Brain
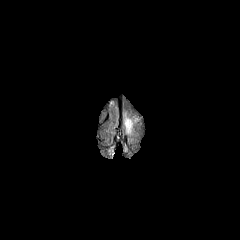
FLAIR MRI.
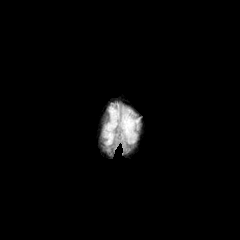
Same slice, T1-weighted MR.
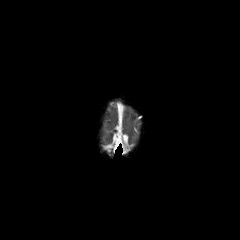
Same slice, post-contrast T1-weighted MR.
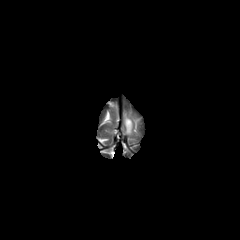
T2-weighted MR image of the same slice.
Annotated regions:
• peritumoral edema: <bbox>125, 119, 131, 133</bbox>